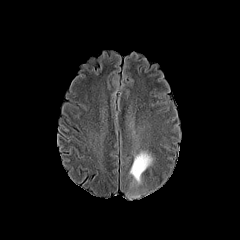
FLAIR MR.
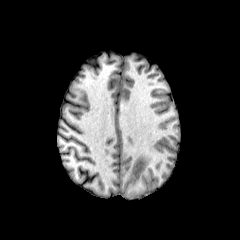
Same slice, T1-weighted MR.
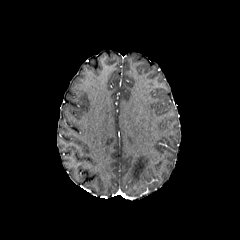
Post-contrast T1-weighted MR image.
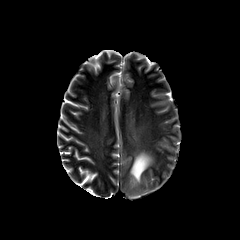
T2-weighted MR.
Annotated regions:
* peritumoral edema: (x1=130, y1=151, x2=153, y2=183)